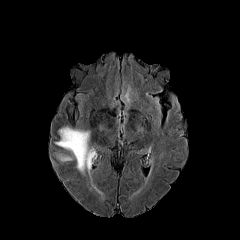
FLAIR magnetic resonance.
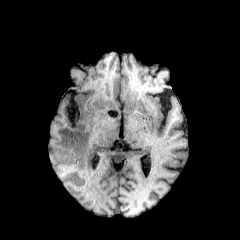
T1-weighted magnetic resonance of the same slice.
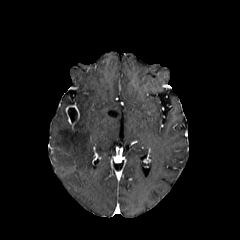
Same slice, post-contrast T1-weighted magnetic resonance.
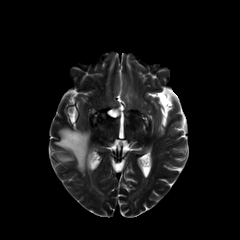
T2-weighted magnetic resonance of the same slice.
Head | Axial slice
2 peritumoral edema regions appear at 58,155,71,160; 55,127,93,172.